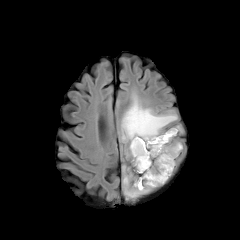
FLAIR MR image.
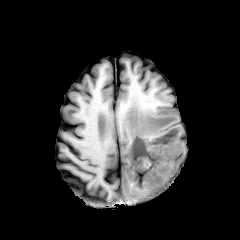
T1-weighted magnetic resonance of the same slice.
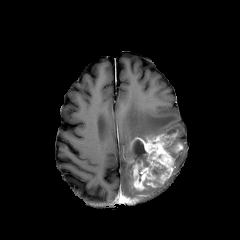
Same slice, post-contrast T1-weighted MR image.
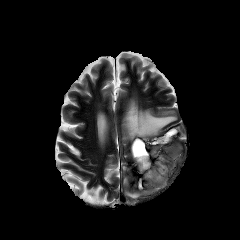
T2-weighted magnetic resonance.
240x240 px | Axial slice
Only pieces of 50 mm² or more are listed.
The 3 largest peritumoral edema regions appear at <bbox>123, 174, 152, 198</bbox>, <bbox>121, 100, 181, 142</bbox>, <bbox>166, 141, 178, 158</bbox>. 2 enhancing tumor regions are located at <bbox>130, 131, 177, 190</bbox>, <bbox>170, 142, 182, 153</bbox>. The 2 largest necrotic tumor core regions appear at <bbox>133, 140, 148, 166</bbox>, <bbox>152, 167, 165, 175</bbox>.